Brain; Slice index 107
FLAIR MR image.
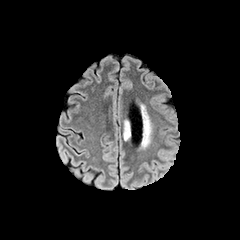
T1-weighted MR.
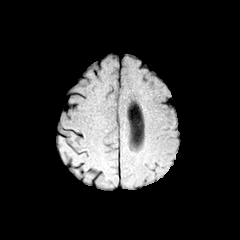
Post-contrast T1-weighted MRI.
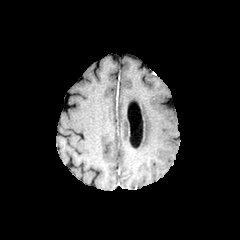
T2-weighted MR.
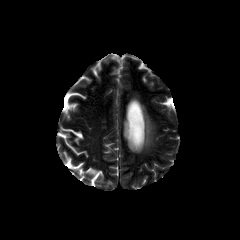
2 peritumoral edema regions appear at x1=141 y1=105 x2=152 y2=148, x1=123 y1=120 x2=130 y2=140.